Axial slice
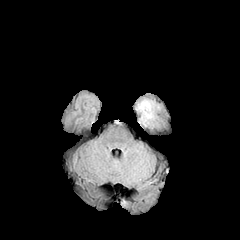
FLAIR MR image.
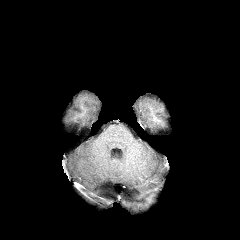
T1-weighted magnetic resonance.
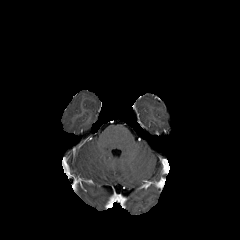
Post-contrast T1-weighted MR.
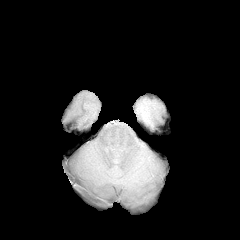
Same slice, T2-weighted MR.
The peritumoral edema appears at l=137, t=98, r=159, b=125.